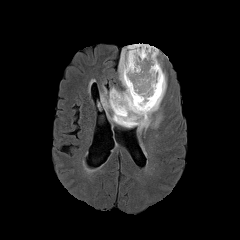
FLAIR MR.
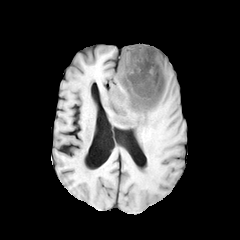
Same slice, T1-weighted magnetic resonance.
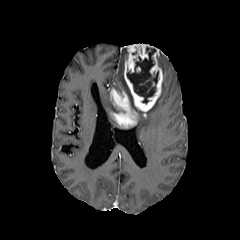
Same slice, post-contrast T1-weighted magnetic resonance.
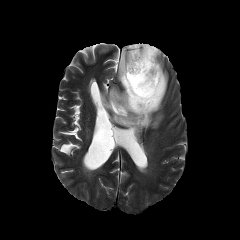
Same slice, T2-weighted MRI.
Axial slice, Brain
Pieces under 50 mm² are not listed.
* enhancing tumor: (left=110, top=43, right=163, bottom=127)
* peritumoral edema: (left=118, top=47, right=127, bottom=91), (left=101, top=90, right=117, bottom=123), (left=136, top=59, right=167, bottom=133)
* necrotic tumor core: (left=127, top=47, right=158, bottom=103)